FLAIR MRI.
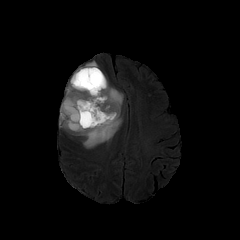
T1-weighted magnetic resonance.
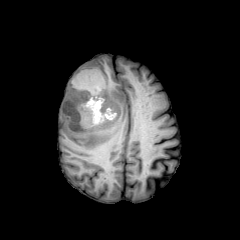
Post-contrast T1-weighted MRI.
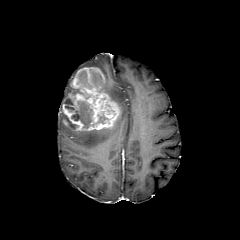
T2-weighted MRI.
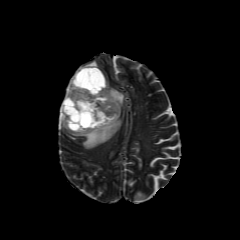
Axial view. Brain.
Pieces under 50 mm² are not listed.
necrotic tumor core at [x1=90, y1=70, x2=105, y2=87], [x1=71, y1=102, x2=92, y2=127], [x1=78, y1=71, x2=91, y2=88], [x1=62, y1=113, x2=76, y2=129]
peritumoral edema at [x1=62, y1=71, x2=79, y2=104], [x1=101, y1=76, x2=123, y2=112], [x1=59, y1=113, x2=122, y2=148], [x1=77, y1=61, x2=98, y2=70]
enhancing tumor at [x1=61, y1=67, x2=120, y2=131]